FLAIR MR image.
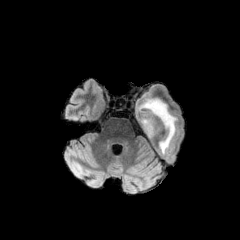
T1-weighted MR image.
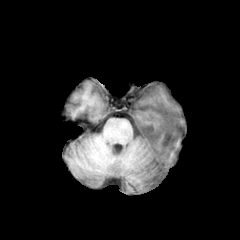
Post-contrast T1-weighted magnetic resonance.
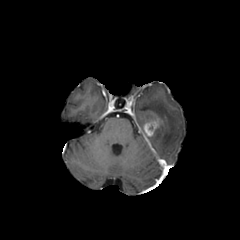
T2-weighted MRI.
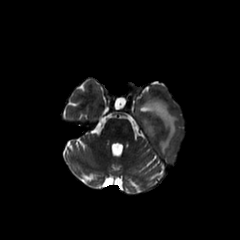
enhancing tumor: bounding box (142,113,163,138)
peritumoral edema: bounding box (140,98,178,154)